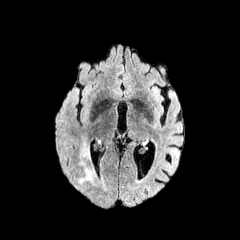
FLAIR MR.
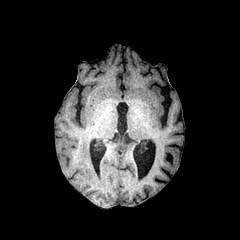
T1-weighted MRI of the same slice.
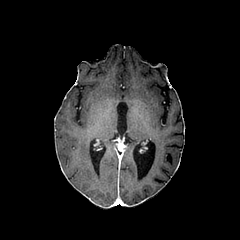
Same slice, post-contrast T1-weighted MR image.
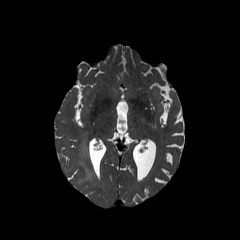
Same slice, T2-weighted MRI.
Head, Axial slice
peritumoral edema: left=78, top=142, right=95, bottom=184